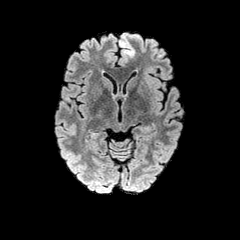
FLAIR MRI.
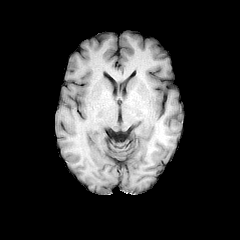
T1-weighted MR image.
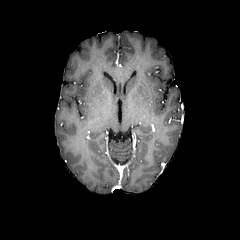
Same slice, post-contrast T1-weighted magnetic resonance.
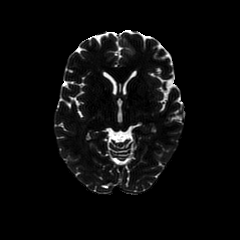
Same slice, T2-weighted MR image.
240x240; Axial slice
Annotated regions:
* peritumoral edema: x1=119, y1=33, x2=134, y2=58